FLAIR MR.
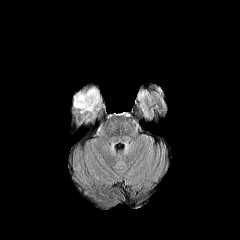
T1-weighted MRI.
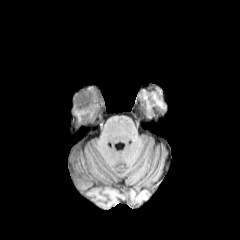
Post-contrast T1-weighted magnetic resonance.
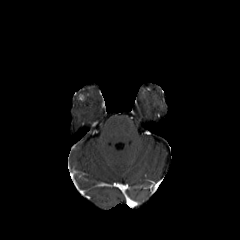
T2-weighted MRI.
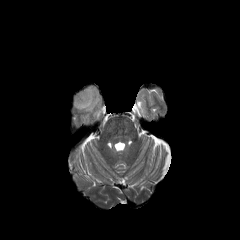
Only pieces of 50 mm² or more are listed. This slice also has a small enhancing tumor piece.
The peritumoral edema is bounded by box(73, 85, 102, 110).